FLAIR MRI.
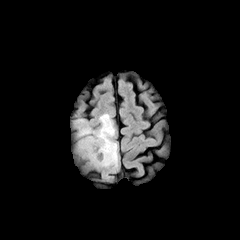
T1-weighted MR.
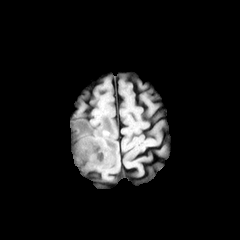
Post-contrast T1-weighted MR image.
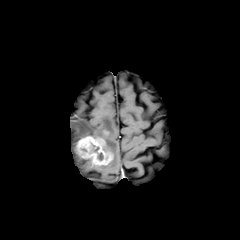
T2-weighted MR image.
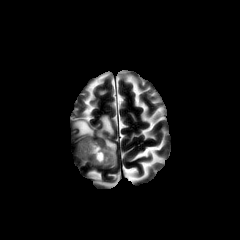
Axial slice | 240x240
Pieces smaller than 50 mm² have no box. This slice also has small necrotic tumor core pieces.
peritumoral edema at [74, 114, 117, 169]
enhancing tumor at [76, 136, 113, 165]